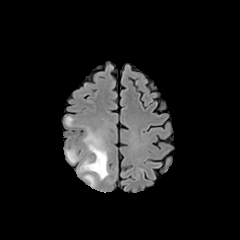
FLAIR MR image.
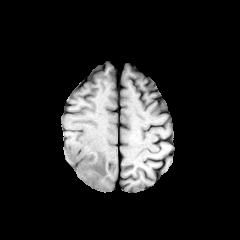
T1-weighted magnetic resonance.
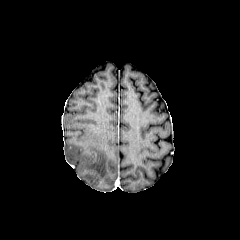
Post-contrast T1-weighted MR image.
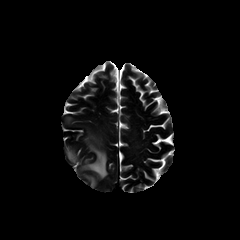
T2-weighted MR image of the same slice.
Brain
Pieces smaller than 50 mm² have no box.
peritumoral edema — bbox=[84, 175, 96, 187]; bbox=[66, 149, 78, 162]; bbox=[77, 132, 108, 179]